FLAIR magnetic resonance.
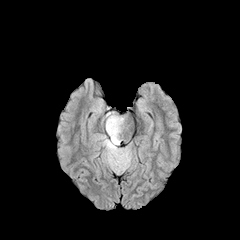
T1-weighted MR image.
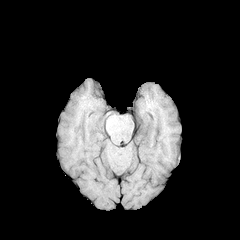
Post-contrast T1-weighted MRI.
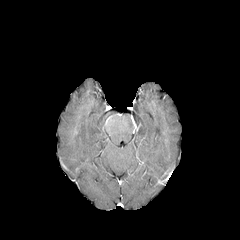
T2-weighted MR.
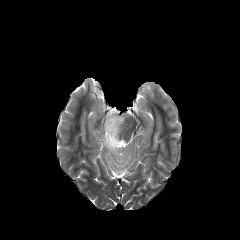
Axial view.
{
  "peritumoral_edema": [
    "box(98, 112, 131, 172)"
  ]
}